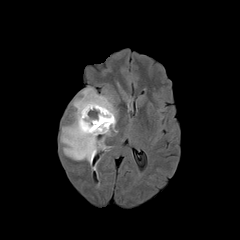
FLAIR MR image.
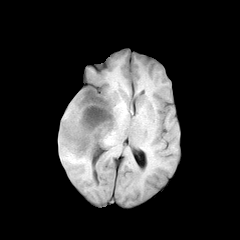
Same slice, T1-weighted MRI.
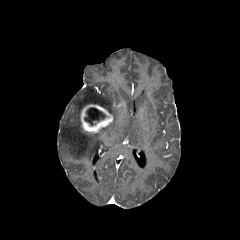
Post-contrast T1-weighted magnetic resonance of the same slice.
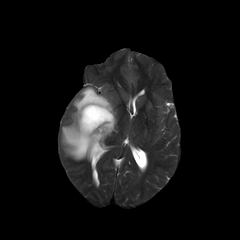
T2-weighted magnetic resonance.
Axial view, Image size 240x240, Brain
necrotic tumor core at region(84, 107, 105, 125)
enhancing tumor at region(80, 104, 113, 133)
peritumoral edema at region(60, 87, 116, 161)